FLAIR MR.
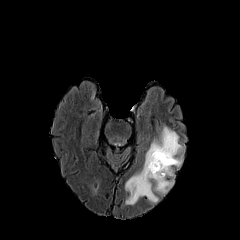
T1-weighted magnetic resonance.
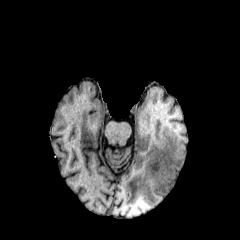
Post-contrast T1-weighted MRI.
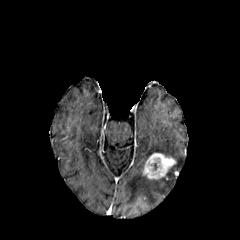
T2-weighted MR.
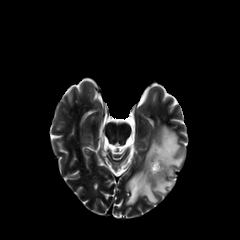
Brain
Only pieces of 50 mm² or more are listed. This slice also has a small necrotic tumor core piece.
3 peritumoral edema regions appear at region(125, 167, 173, 204); region(145, 126, 183, 167); region(166, 167, 173, 176). The enhancing tumor is bounded by region(143, 153, 176, 179).